Brain; 240x240; Image width 240 mm; Slice index 63
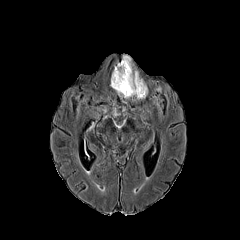
FLAIR MRI.
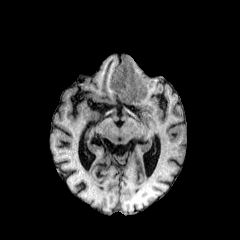
T1-weighted MR.
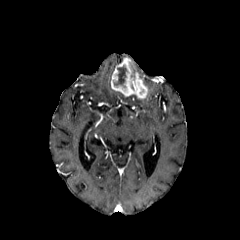
Post-contrast T1-weighted MR image.
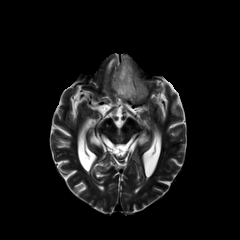
Same slice, T2-weighted MRI.
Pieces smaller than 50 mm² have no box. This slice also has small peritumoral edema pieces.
<segmentation>
  <necrotic_tumor_core>114:66:126:85</necrotic_tumor_core>
  <enhancing_tumor>111:56:148:99</enhancing_tumor>
</segmentation>